Head | Image size 240x240 | Axial plane
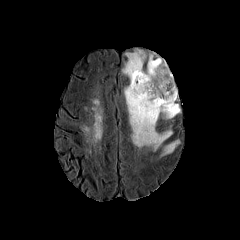
FLAIR MRI.
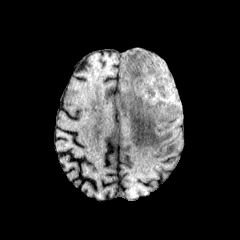
T1-weighted magnetic resonance.
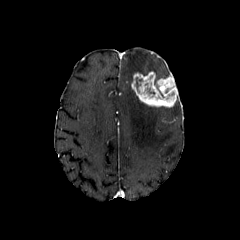
Same slice, post-contrast T1-weighted MR image.
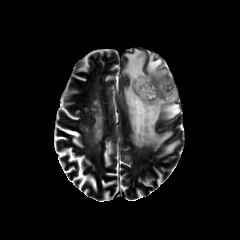
T2-weighted magnetic resonance.
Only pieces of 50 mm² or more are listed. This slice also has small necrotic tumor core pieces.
enhancing_tumor:
  - box=[131, 71, 178, 107]
peritumoral_edema:
  - box=[161, 140, 179, 155]
  - box=[122, 49, 180, 151]